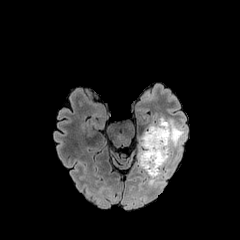
FLAIR MR.
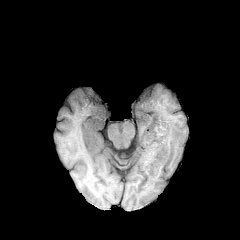
T1-weighted MRI.
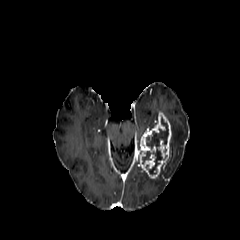
Post-contrast T1-weighted MRI.
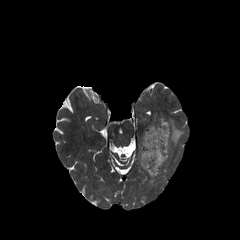
T2-weighted MR.
Axial slice
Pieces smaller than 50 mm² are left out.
The 2 largest necrotic tumor core regions appear at [x1=146, y1=116, x2=168, y2=149], [x1=142, y1=148, x2=162, y2=173]. The enhancing tumor is at [x1=137, y1=113, x2=171, y2=178]. The 2 largest peritumoral edema regions appear at [x1=148, y1=169, x2=163, y2=185], [x1=167, y1=118, x2=185, y2=163].